FLAIR MR.
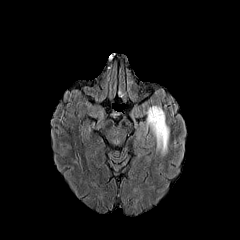
T1-weighted MR image.
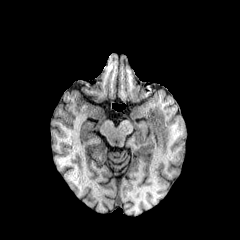
Post-contrast T1-weighted MR image.
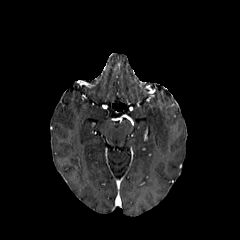
T2-weighted MR.
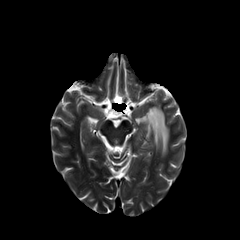
Brain, Axial plane
peritumoral edema: bounding box 144 106 169 155